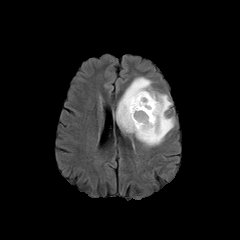
FLAIR magnetic resonance.
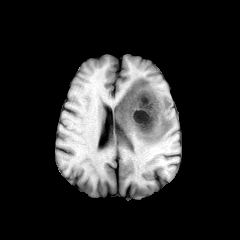
T1-weighted magnetic resonance.
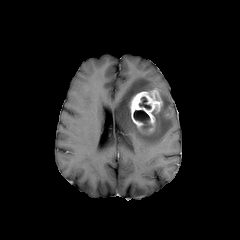
Post-contrast T1-weighted magnetic resonance.
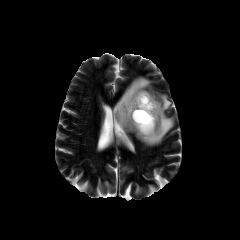
T2-weighted MR of the same slice.
Axial plane, Head
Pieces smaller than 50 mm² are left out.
The peritumoral edema appears at bbox=[114, 77, 174, 146]. The 2 largest necrotic tumor core regions appear at bbox=[139, 97, 151, 109]; bbox=[133, 110, 151, 129]. The enhancing tumor is bounded by bbox=[129, 90, 162, 133].